FLAIR MR.
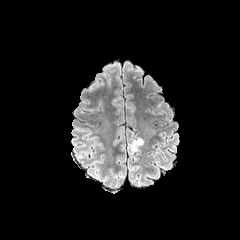
T1-weighted magnetic resonance.
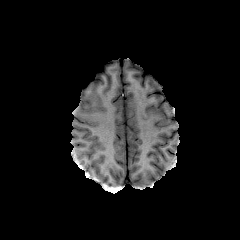
Post-contrast T1-weighted MRI.
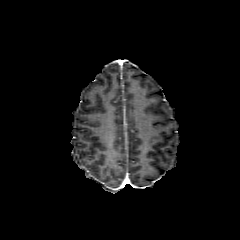
T2-weighted MRI.
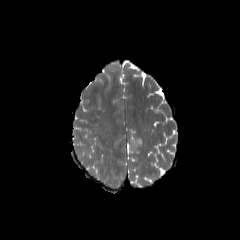
Axial plane, Brain
peritumoral_edema:
  - [134,138,145,146]